Slice 57/155; Axial view; Image size 240x240; Brain
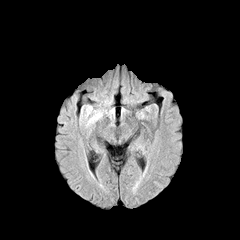
FLAIR magnetic resonance.
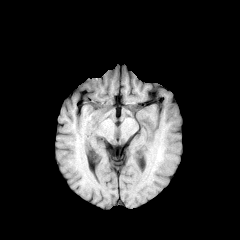
T1-weighted MR image of the same slice.
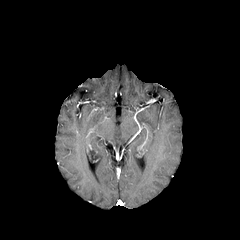
Same slice, post-contrast T1-weighted MRI.
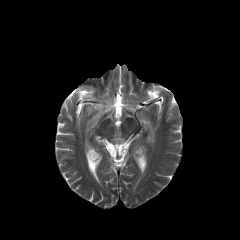
T2-weighted MRI.
{"peritumoral_edema": ["(x1=110, y1=107, x2=114, y2=118)", "(x1=80, y1=106, x2=102, y2=128)"]}